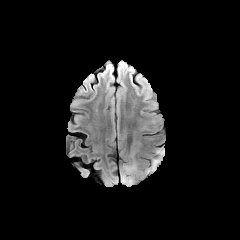
FLAIR MR.
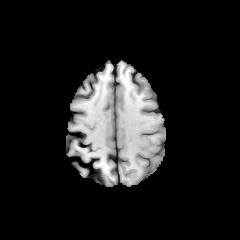
T1-weighted magnetic resonance.
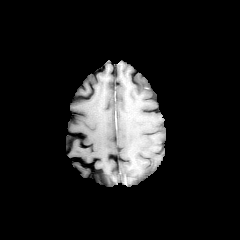
Post-contrast T1-weighted MR image.
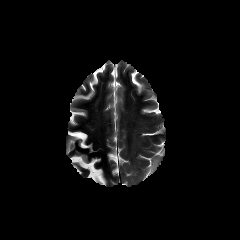
T2-weighted MR image.
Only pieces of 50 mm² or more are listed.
peritumoral edema — 148, 159, 160, 172